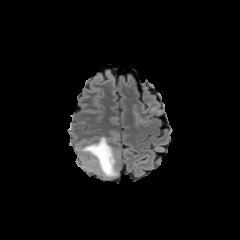
FLAIR MRI.
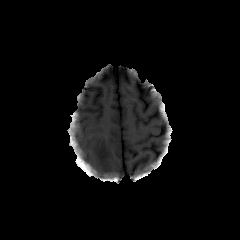
T1-weighted magnetic resonance.
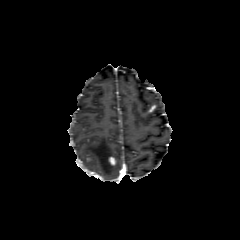
Post-contrast T1-weighted MR image of the same slice.
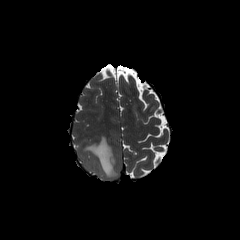
T2-weighted MR image of the same slice.
Brain. Axial slice.
Segmented structures:
* enhancing tumor: x1=108, y1=156, x2=116, y2=165
* peritumoral edema: x1=82, y1=136, x2=117, y2=178